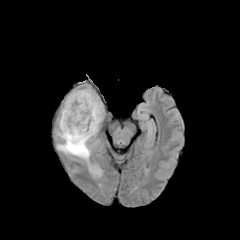
FLAIR magnetic resonance.
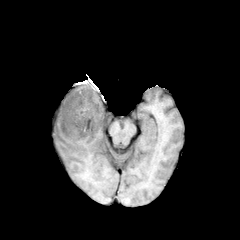
T1-weighted MR image.
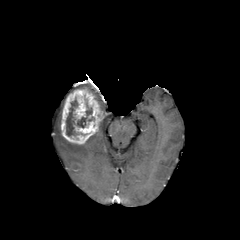
Post-contrast T1-weighted MRI.
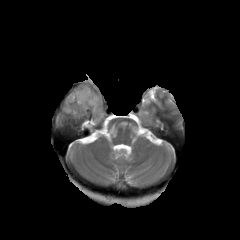
T2-weighted magnetic resonance.
Axial view | 240x240 px
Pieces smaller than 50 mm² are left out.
enhancing tumor: bounding box x1=61 y1=87 x2=103 y2=144
necrotic tumor core: bounding box x1=66 y1=100 x2=92 y2=136
peritumoral edema: bounding box x1=60 y1=131 x2=101 y2=175, x1=86 y1=86 x2=103 y2=111